FLAIR MR.
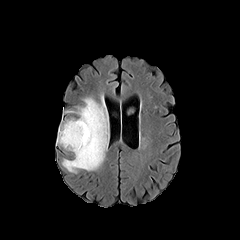
T1-weighted MR image.
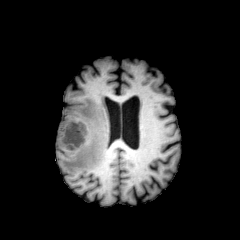
Post-contrast T1-weighted MRI.
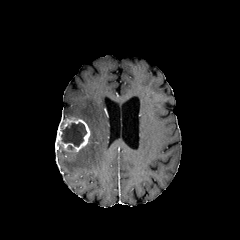
T2-weighted MRI.
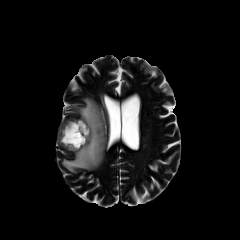
Brain
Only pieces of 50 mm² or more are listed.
{"enhancing_tumor": ["56:117:90:152"], "necrotic_tumor_core": ["61:122:86:146"], "peritumoral_edema": ["62:96:108:173"]}